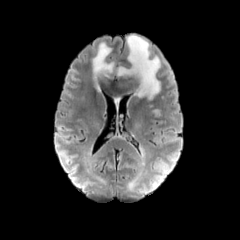
FLAIR MR image.
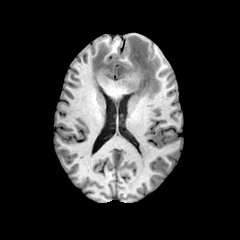
T1-weighted magnetic resonance.
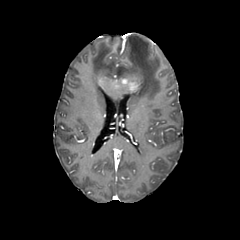
Post-contrast T1-weighted MR image of the same slice.
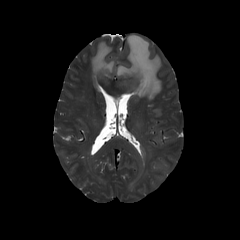
T2-weighted magnetic resonance.
Axial plane
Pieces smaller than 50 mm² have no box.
The 3 largest peritumoral edema regions are located at bbox=[92, 42, 114, 90]; bbox=[152, 109, 159, 116]; bbox=[116, 35, 160, 98]. The largest enhancing tumor region appears at bbox=[120, 78, 139, 91].